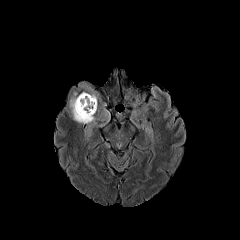
FLAIR MR.
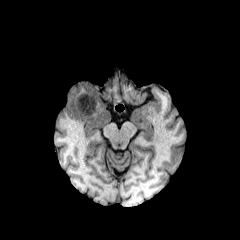
T1-weighted MRI of the same slice.
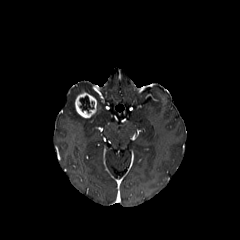
Post-contrast T1-weighted MRI of the same slice.
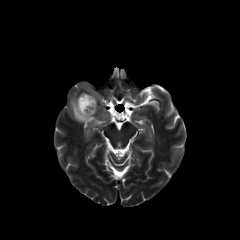
T2-weighted magnetic resonance.
Axial slice
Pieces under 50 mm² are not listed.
{"peritumoral_edema": ["x1=79, y1=82, x2=97, y2=99", "x1=69, y1=92, x2=109, y2=137"], "enhancing_tumor": ["x1=75, y1=92, x2=97, y2=118"], "necrotic_tumor_core": ["x1=79, y1=96, x2=94, y2=113"]}